FLAIR MR.
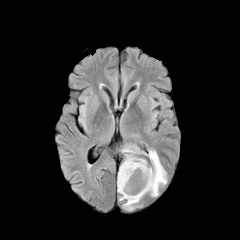
T1-weighted MR image.
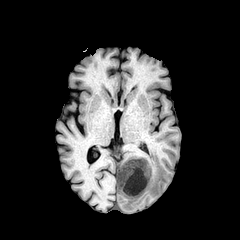
Post-contrast T1-weighted MR.
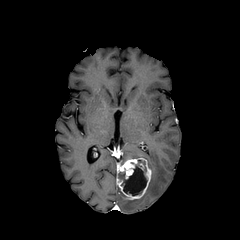
T2-weighted MR image.
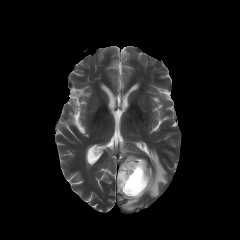
Axial plane | Head
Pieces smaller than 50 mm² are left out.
peritumoral edema: 123:147:137:160, 123:199:140:210, 146:150:167:196
necrotic tumor core: 119:165:147:195
enhancing tumor: 116:157:151:199